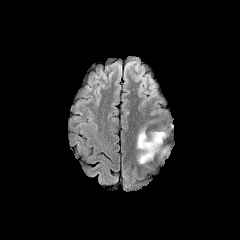
FLAIR MR.
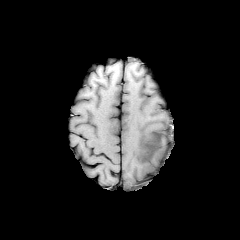
T1-weighted magnetic resonance.
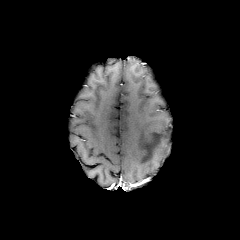
Post-contrast T1-weighted MR.
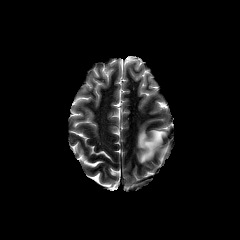
Same slice, T2-weighted MR.
Image size 240x240, Axial slice
Segmented structures:
* peritumoral edema: x1=137, y1=128, x2=167, y2=163